Brain
FLAIR MRI.
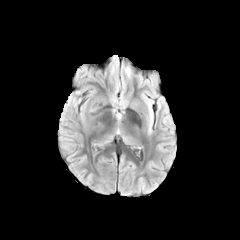
T1-weighted MR.
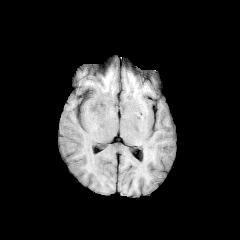
Post-contrast T1-weighted magnetic resonance.
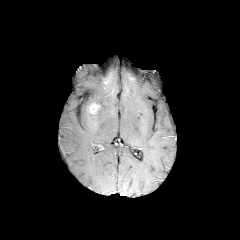
T2-weighted MR.
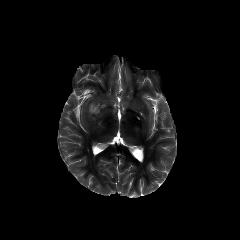
peritumoral edema: bounding box box(83, 99, 101, 121)
enhancing tumor: bounding box box(88, 102, 106, 114)